Slice 86/155. Head. 240x240 px.
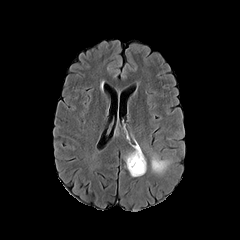
FLAIR magnetic resonance.
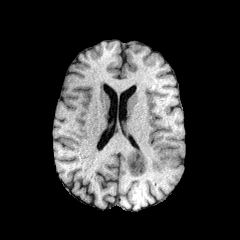
T1-weighted MRI.
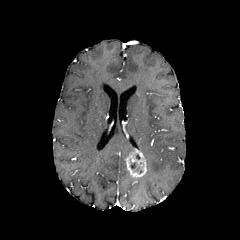
Same slice, post-contrast T1-weighted MR.
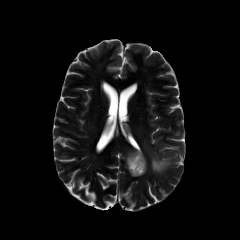
T2-weighted magnetic resonance of the same slice.
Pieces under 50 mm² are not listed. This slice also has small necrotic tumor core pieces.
<segmentation>
  <enhancing_tumor>[125, 148, 146, 177]</enhancing_tumor>
  <peritumoral_edema>[151, 155, 169, 173]</peritumoral_edema>
</segmentation>